Slice 76 of 155.
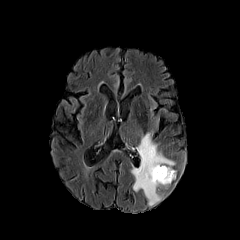
FLAIR magnetic resonance.
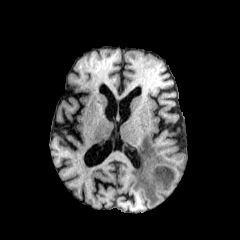
T1-weighted magnetic resonance of the same slice.
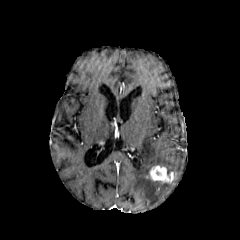
Post-contrast T1-weighted magnetic resonance.
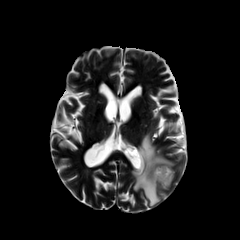
Same slice, T2-weighted MR.
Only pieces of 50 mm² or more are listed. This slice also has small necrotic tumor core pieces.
peritumoral edema — rect(131, 133, 175, 206)
enhancing tumor — rect(147, 165, 174, 183)